FLAIR MR image.
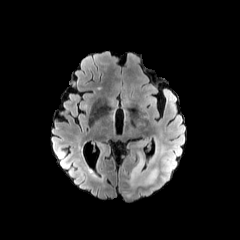
T1-weighted MR.
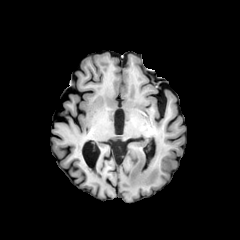
Post-contrast T1-weighted MR image.
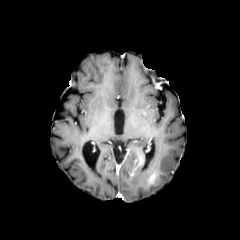
T2-weighted MRI.
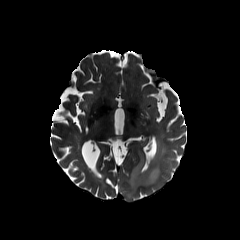
Brain | Axial plane
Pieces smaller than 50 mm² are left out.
peritumoral edema: bounding box {"x1": 125, "y1": 151, "x2": 160, "y2": 191}
enhancing tumor: bounding box {"x1": 128, "y1": 157, "x2": 143, "y2": 177}, {"x1": 146, "y1": 171, "x2": 157, "y2": 184}